Slice index 109; 240x240
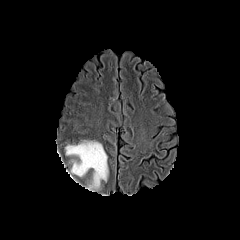
FLAIR MR.
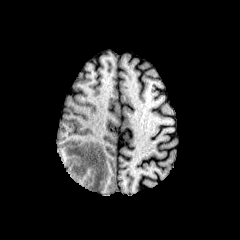
T1-weighted MRI.
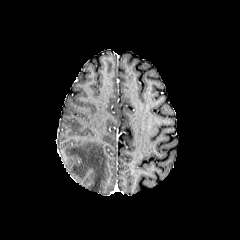
Same slice, post-contrast T1-weighted magnetic resonance.
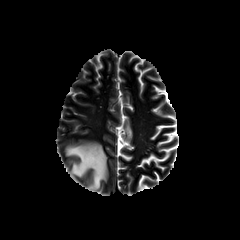
T2-weighted MR image.
peritumoral edema at {"x1": 65, "y1": 141, "x2": 108, "y2": 190}